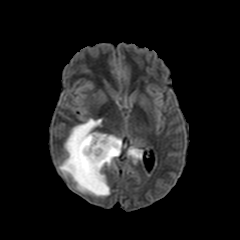
FLAIR MRI.
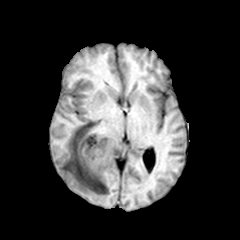
T1-weighted MRI.
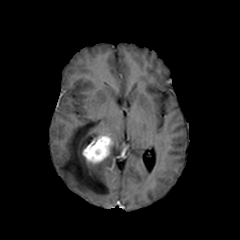
Post-contrast T1-weighted MR image of the same slice.
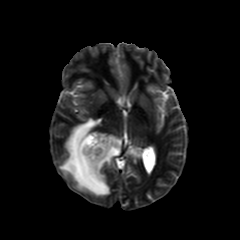
T2-weighted MR image.
Axial plane; 240x240 px; Head
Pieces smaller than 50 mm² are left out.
peritumoral edema: bounding box x1=127, y1=146, x2=142, y2=163; x1=59, y1=118, x2=121, y2=196
enhancing tumor: bounding box x1=82, y1=134, x2=113, y2=164